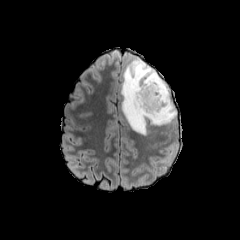
FLAIR MR.
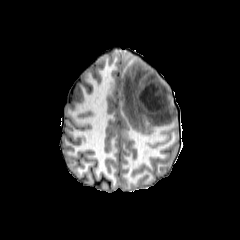
T1-weighted magnetic resonance of the same slice.
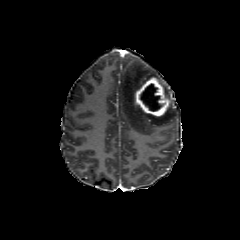
Post-contrast T1-weighted magnetic resonance.
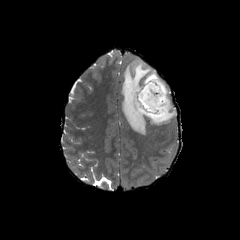
Same slice, T2-weighted magnetic resonance.
Segmented structures:
- peritumoral edema: x1=120 y1=58 x2=176 y2=134
- enhancing tumor: x1=133 y1=76 x2=170 y2=117
- necrotic tumor core: x1=140 y1=83 x2=162 y2=111